FLAIR MRI.
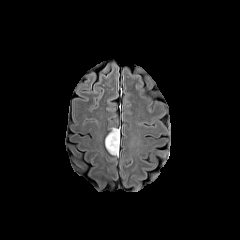
T1-weighted MR.
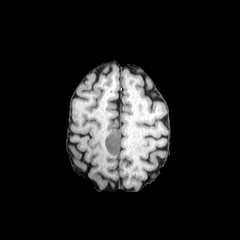
Post-contrast T1-weighted MR.
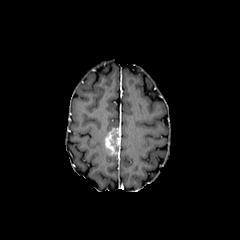
T2-weighted MRI.
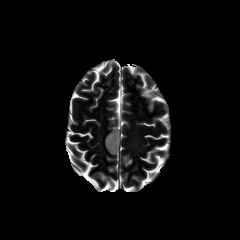
Axial view, 240x240, Brain
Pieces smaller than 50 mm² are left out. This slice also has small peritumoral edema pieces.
{
  "necrotic_tumor_core": [
    "109,128,119,153"
  ],
  "enhancing_tumor": [
    "105,133,110,148"
  ]
}